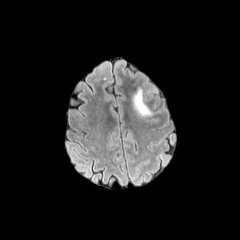
FLAIR MR image.
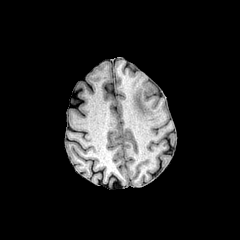
T1-weighted MRI of the same slice.
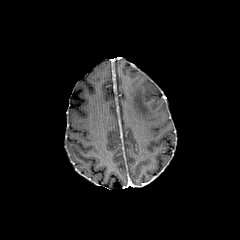
Post-contrast T1-weighted magnetic resonance of the same slice.
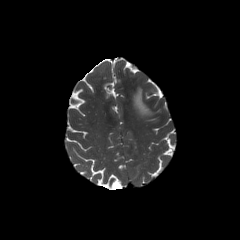
Same slice, T2-weighted magnetic resonance.
Axial view
peritumoral_edema:
  - (133, 89, 152, 117)